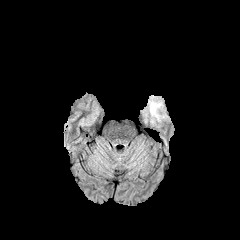
FLAIR magnetic resonance.
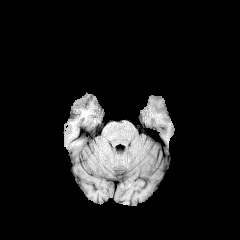
Same slice, T1-weighted magnetic resonance.
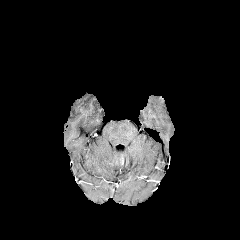
Post-contrast T1-weighted MR image.
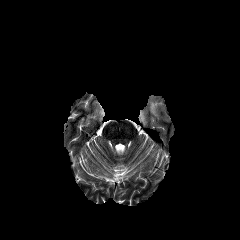
T2-weighted magnetic resonance.
Brain
{
  "peritumoral_edema": [
    "bbox(148, 95, 165, 122)"
  ]
}